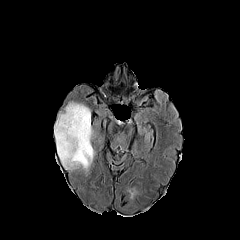
FLAIR magnetic resonance.
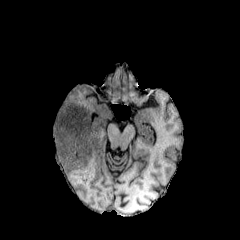
T1-weighted MR.
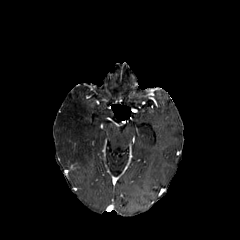
Same slice, post-contrast T1-weighted MR.
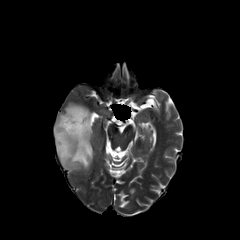
T2-weighted magnetic resonance.
240x240
peritumoral_edema:
  - [54,102,93,170]